Head, Image width 240 mm, Axial plane
FLAIR MRI.
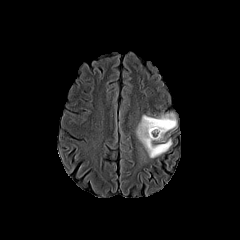
T1-weighted MR.
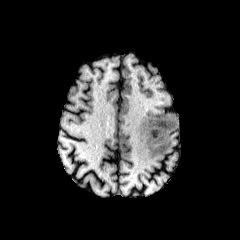
Post-contrast T1-weighted MR image.
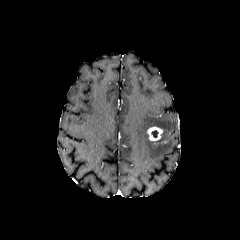
T2-weighted MR image.
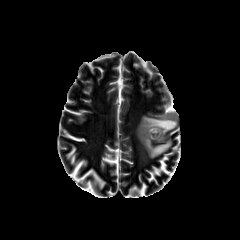
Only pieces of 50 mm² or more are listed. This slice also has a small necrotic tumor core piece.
{"peritumoral_edema": ["l=136, t=113, r=176, b=158"], "enhancing_tumor": ["l=147, t=126, r=163, b=141"]}